FLAIR MRI.
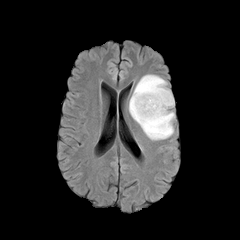
T1-weighted MR.
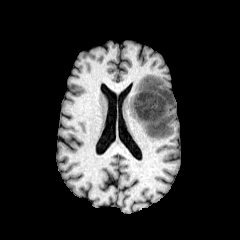
Post-contrast T1-weighted magnetic resonance.
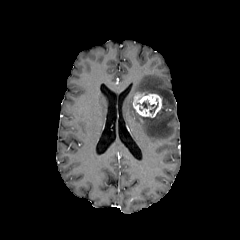
T2-weighted magnetic resonance.
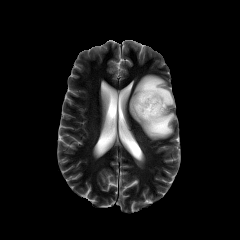
Head; Axial view
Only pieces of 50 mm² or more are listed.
necrotic tumor core — 137:102:154:108
peritumoral edema — 129:74:175:140
enhancing tumor — 132:92:163:117